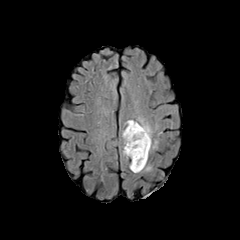
FLAIR MR.
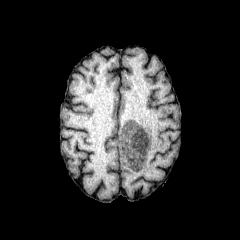
T1-weighted MR.
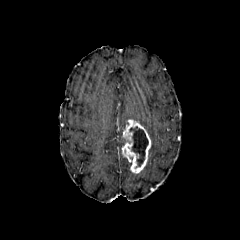
Post-contrast T1-weighted magnetic resonance.
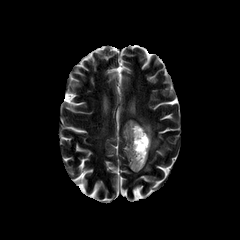
T2-weighted MR image.
Head. 240x240. Axial slice.
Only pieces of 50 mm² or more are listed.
necrotic tumor core = l=130, t=127, r=148, b=166
enhancing tumor = l=122, t=119, r=151, b=173
peritumoral edema = l=137, t=117, r=158, b=151